Axial plane.
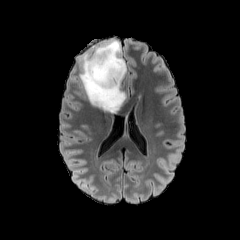
FLAIR MR image.
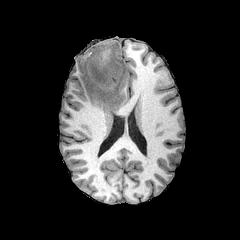
Same slice, T1-weighted MRI.
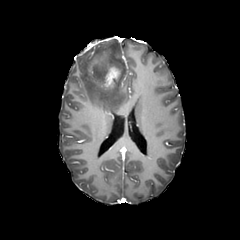
Post-contrast T1-weighted MRI of the same slice.
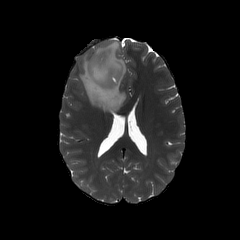
T2-weighted magnetic resonance.
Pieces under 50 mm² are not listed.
peritumoral edema at <box>79,41,126,112</box>
enhancing tumor at <box>87,61,119,87</box>